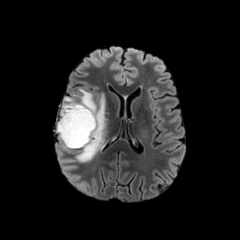
FLAIR MR.
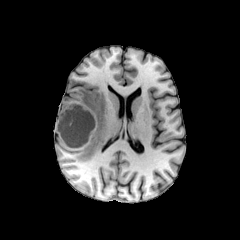
Same slice, T1-weighted MR.
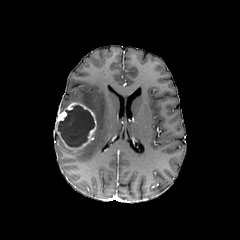
Post-contrast T1-weighted MR.
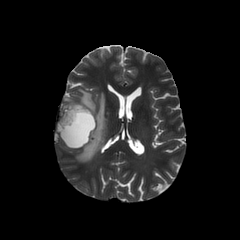
T2-weighted MRI.
240x240 px; Head
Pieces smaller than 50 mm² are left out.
The enhancing tumor is bounded by [56, 102, 96, 149]. The necrotic tumor core is bounded by [58, 105, 94, 147]. The 2 largest peritumoral edema regions are bounded by [60, 96, 76, 112], [73, 89, 105, 162].